Image covers 240 mm x 240 mm
FLAIR MRI.
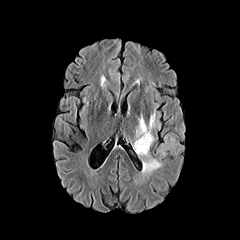
T1-weighted MR image.
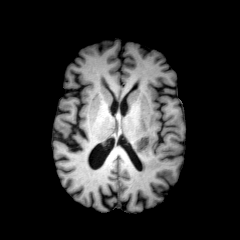
Post-contrast T1-weighted magnetic resonance.
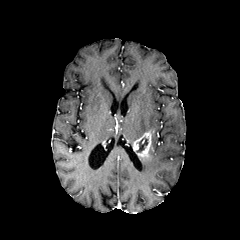
T2-weighted MR.
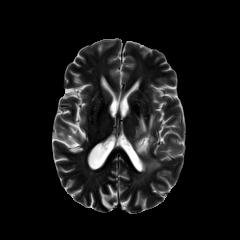
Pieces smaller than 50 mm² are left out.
enhancing tumor: bounding box [x1=133, y1=132, x2=151, y2=158]
necrotic tumor core: bounding box [x1=137, y1=137, x2=147, y2=152]
peritumoral edema: bounding box [x1=136, y1=113, x2=155, y2=139], [x1=141, y1=154, x2=161, y2=173]